FLAIR magnetic resonance.
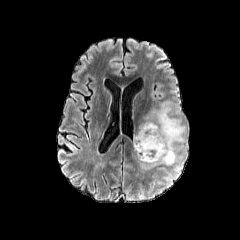
T1-weighted magnetic resonance.
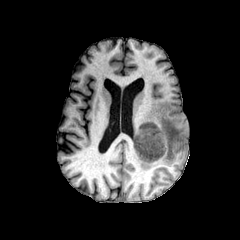
Post-contrast T1-weighted magnetic resonance.
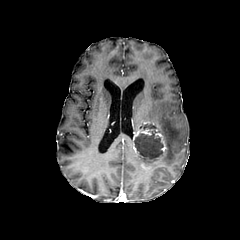
T2-weighted MRI.
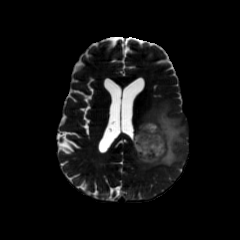
Axial slice. Head.
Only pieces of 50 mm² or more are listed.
The enhancing tumor appears at region(133, 121, 166, 166). The largest peritumoral edema region is at region(137, 101, 187, 170). The necrotic tumor core is bounded by region(134, 123, 163, 159).